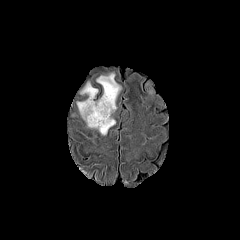
FLAIR magnetic resonance.
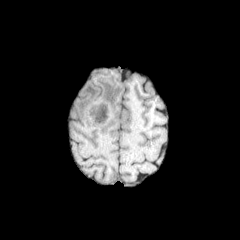
Same slice, T1-weighted MR image.
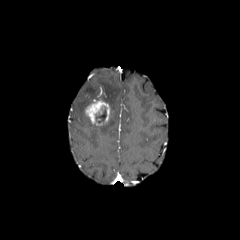
Post-contrast T1-weighted MRI.
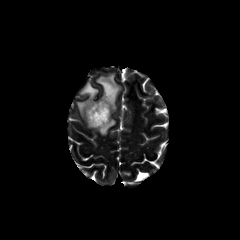
Same slice, T2-weighted MR image.
Brain
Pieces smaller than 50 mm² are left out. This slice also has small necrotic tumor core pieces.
The enhancing tumor is at {"x1": 85, "y1": 99, "x2": 110, "y2": 126}. 2 peritumoral edema regions are bounded by {"x1": 77, "y1": 82, "x2": 115, "y2": 135}, {"x1": 96, "y1": 73, "x2": 120, "y2": 114}.